Slice index 68 | Axial slice | Head
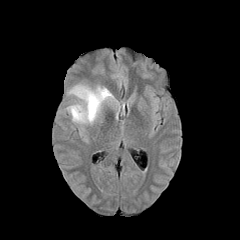
FLAIR MR.
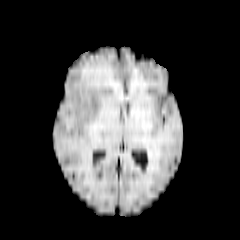
T1-weighted MR.
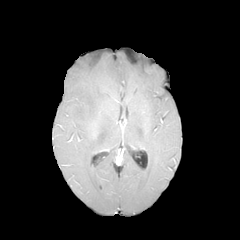
Post-contrast T1-weighted MR image.
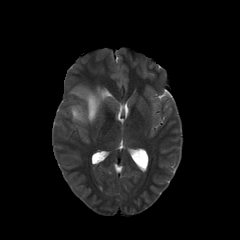
Same slice, T2-weighted MR image.
The peritumoral edema appears at 67,84,113,123.